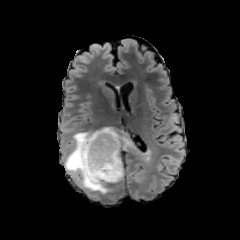
FLAIR magnetic resonance.
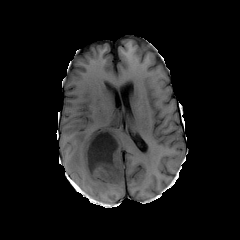
T1-weighted magnetic resonance.
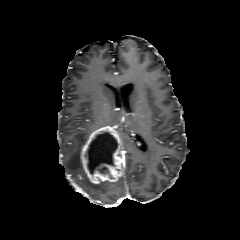
Post-contrast T1-weighted magnetic resonance.
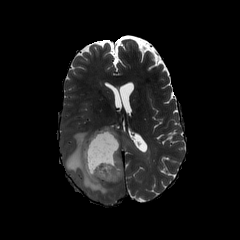
T2-weighted MRI.
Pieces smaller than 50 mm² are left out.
The enhancing tumor appears at x1=81 y1=126 x2=123 y2=184. The necrotic tumor core is at x1=86 y1=132 x2=118 y2=174. The 2 largest peritumoral edema regions appear at x1=120 y1=135 x2=129 y2=148, x1=65 y1=132 x2=116 y2=193.